Slice 91/155, Image width 240 mm, 1.00 mm slice spacing
FLAIR magnetic resonance.
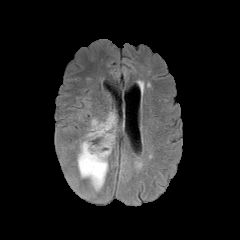
T1-weighted MRI.
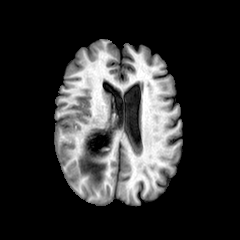
Post-contrast T1-weighted MR.
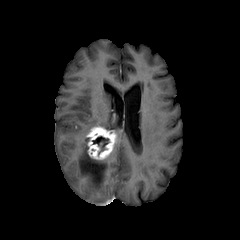
T2-weighted MRI.
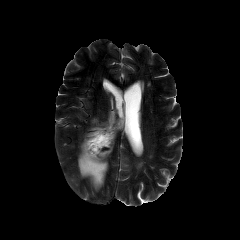
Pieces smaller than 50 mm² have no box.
The enhancing tumor appears at <bbox>86, 126, 116, 159</bbox>. The 2 largest peritumoral edema regions are bounded by <bbox>91, 112, 116, 132</bbox>, <bbox>77, 136, 108, 191</bbox>. The necrotic tumor core is located at <bbox>92, 136, 108, 150</bbox>.